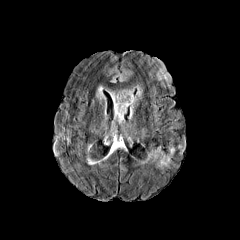
FLAIR MR.
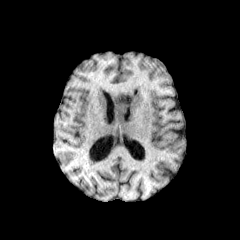
Same slice, T1-weighted MRI.
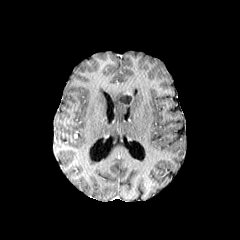
Post-contrast T1-weighted MR image.
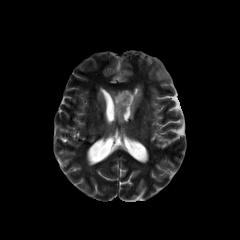
Same slice, T2-weighted MR.
Axial plane
* enhancing tumor: 118 91 133 106
* necrotic tumor core: 119 95 131 104
* peritumoral edema: 97 86 104 99, 107 85 142 123, 110 68 132 82